FLAIR magnetic resonance.
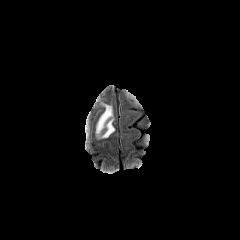
T1-weighted magnetic resonance.
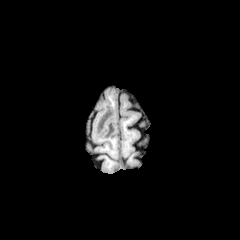
Post-contrast T1-weighted MR.
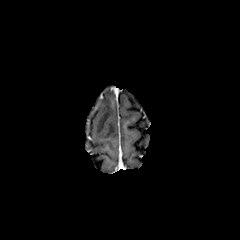
T2-weighted MR image.
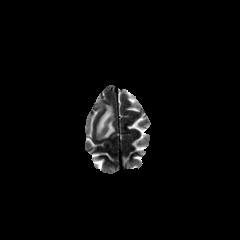
Brain. Image size 240x240.
peritumoral edema: bbox(96, 103, 114, 138)